FLAIR MR.
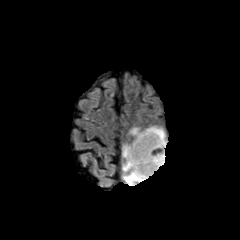
T1-weighted MR.
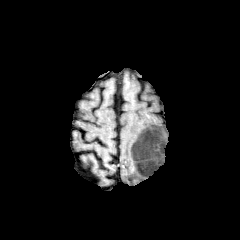
Post-contrast T1-weighted MR.
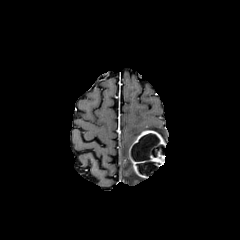
T2-weighted magnetic resonance.
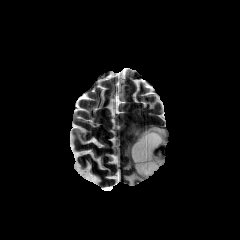
Head
2 enhancing tumor regions appear at [x1=149, y1=151, x2=165, y2=166], [x1=129, y1=130, x2=166, y2=178]. 2 necrotic tumor core regions are located at [x1=131, y1=133, x2=164, y2=161], [x1=136, y1=161, x2=158, y2=175]. 3 peritumoral edema regions are located at [x1=145, y1=126, x2=166, y2=142], [x1=129, y1=127, x2=141, y2=138], [x1=122, y1=143, x2=145, y2=185].